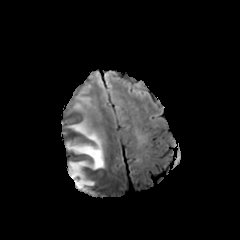
FLAIR MR.
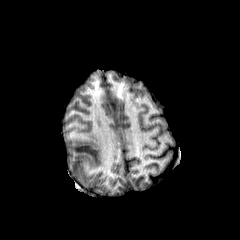
T1-weighted MR image.
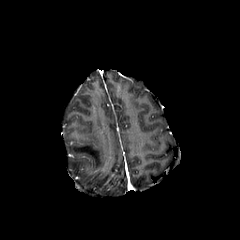
Post-contrast T1-weighted MR image.
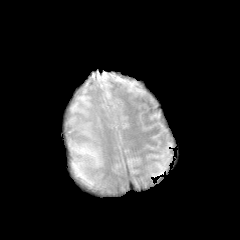
Same slice, T2-weighted magnetic resonance.
Image size 240x240. Axial view.
The peritumoral edema is at bbox(67, 121, 104, 186).